FLAIR MR image.
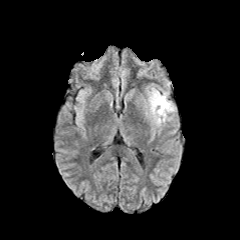
T1-weighted MR image.
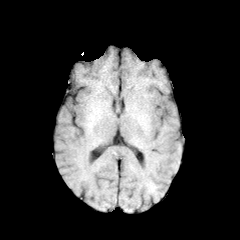
Post-contrast T1-weighted MRI.
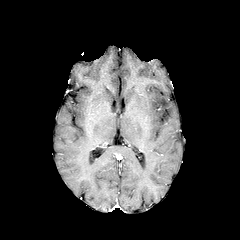
T2-weighted MRI.
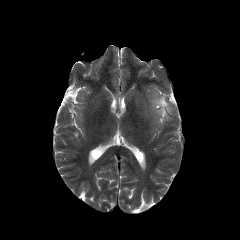
Axial view
The peritumoral edema lies within [149,90,173,122].